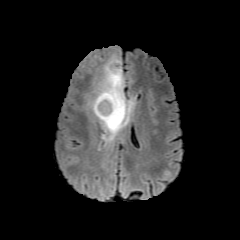
FLAIR MR image.
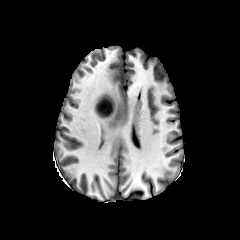
T1-weighted MR image of the same slice.
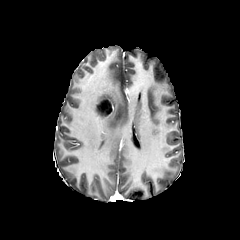
Post-contrast T1-weighted MRI.
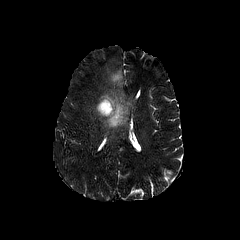
T2-weighted MR.
Head. Axial view.
Findings:
• necrotic tumor core: (x1=97, y1=99, x2=112, y2=116)
• enhancing tumor: (x1=95, y1=98, x2=114, y2=117)
• peritumoral edema: (x1=91, y1=59, x2=135, y2=143)